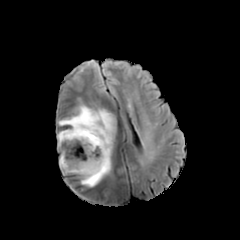
FLAIR MR.
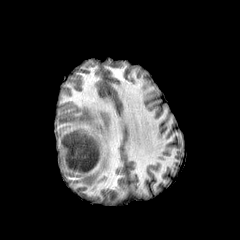
Same slice, T1-weighted MRI.
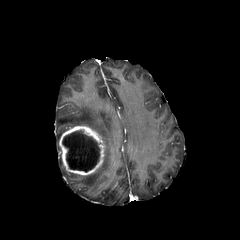
Post-contrast T1-weighted MR image.
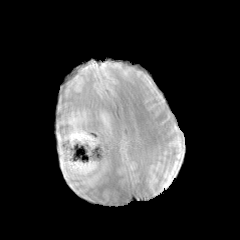
T2-weighted MR image of the same slice.
Head | 240x240 px
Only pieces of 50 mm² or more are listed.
The enhancing tumor is at [59,126,105,175]. The 2 largest peritumoral edema regions are located at [57,106,115,186], [59,157,72,174]. The largest necrotic tumor core region is bounded by [62,130,99,171].